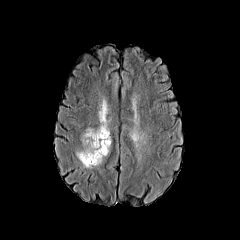
FLAIR MRI.
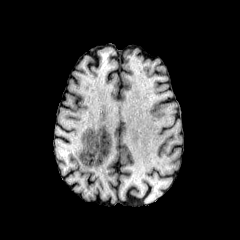
T1-weighted MR image of the same slice.
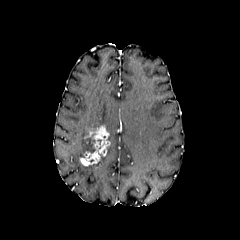
Post-contrast T1-weighted MR image.
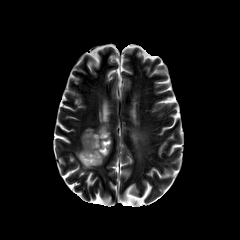
Same slice, T2-weighted MR.
Axial plane, Brain
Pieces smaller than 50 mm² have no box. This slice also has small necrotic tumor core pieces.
The enhancing tumor is bounded by (x1=80, y1=125, x2=110, y2=166). The 3 largest peritumoral edema regions are bounded by (x1=126, y1=128, x2=138, y2=148), (x1=75, y1=127, x2=93, y2=158), (x1=97, y1=96, x2=111, y2=132).